Head.
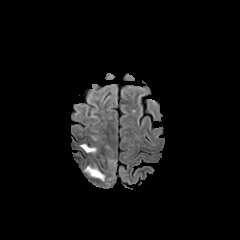
FLAIR MRI.
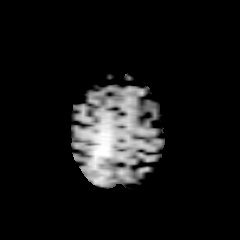
Same slice, T1-weighted MRI.
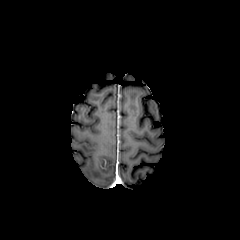
Post-contrast T1-weighted MR.
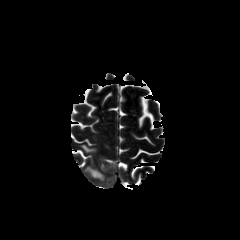
Same slice, T2-weighted magnetic resonance.
peritumoral edema: [85,166,104,180], [80,144,96,152]